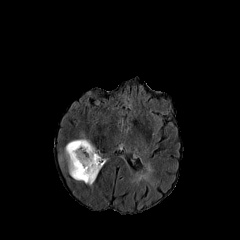
FLAIR magnetic resonance.
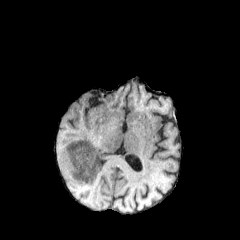
Same slice, T1-weighted magnetic resonance.
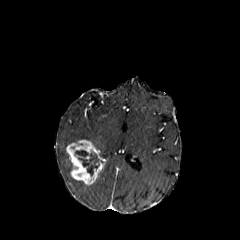
Post-contrast T1-weighted magnetic resonance.
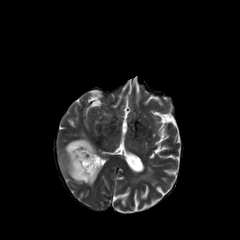
T2-weighted MR.
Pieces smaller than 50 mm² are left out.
peritumoral edema: bounding box box(59, 147, 72, 173); box(66, 135, 87, 146)
necrotic tumor core: bounding box box(78, 153, 98, 175); box(75, 150, 88, 156)
enhancing tumor: bounding box box(66, 140, 105, 184)